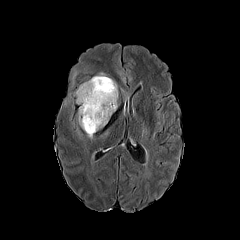
FLAIR magnetic resonance.
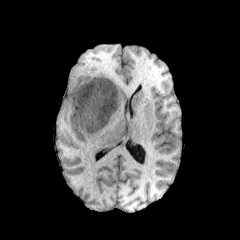
T1-weighted MRI.
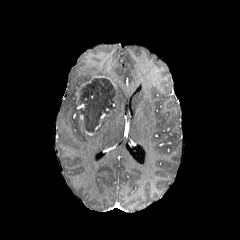
Post-contrast T1-weighted MR image.
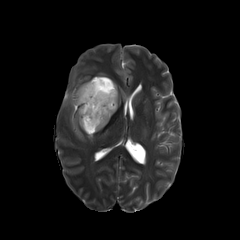
Same slice, T2-weighted magnetic resonance.
240x240; Brain
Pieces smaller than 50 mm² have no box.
necrotic tumor core: [x1=79, y1=78, x2=115, y2=132] | enhancing tumor: [x1=95, y1=113, x2=105, y2=129], [x1=82, y1=75, x2=116, y2=90] | peritumoral edema: [x1=93, y1=85, x2=118, y2=132], [x1=73, y1=85, x2=83, y2=104], [x1=78, y1=108, x2=86, y2=130]